Brain | 240x240 px
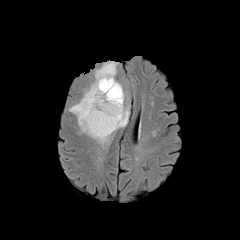
FLAIR MR image.
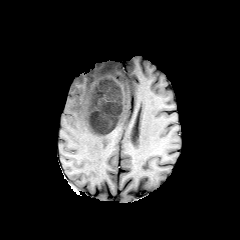
T1-weighted MR of the same slice.
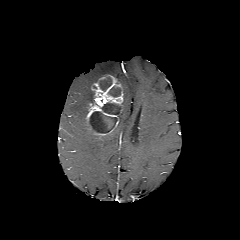
Post-contrast T1-weighted magnetic resonance of the same slice.
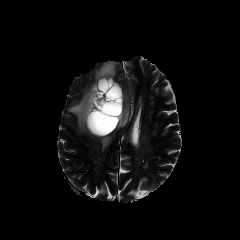
T2-weighted MR image.
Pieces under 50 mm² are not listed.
The 4 largest necrotic tumor core regions are located at (x1=99, y1=77, x2=111, y2=91), (x1=89, y1=111, x2=117, y2=133), (x1=108, y1=86, x2=121, y2=96), (x1=101, y1=103, x2=121, y2=114). The enhancing tumor is bounded by (x1=85, y1=75, x2=123, y2=136). The largest peritumoral edema region appears at (x1=68, y1=60, x2=129, y2=145).